FLAIR MR.
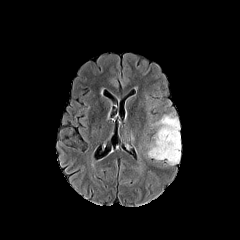
T1-weighted MR image.
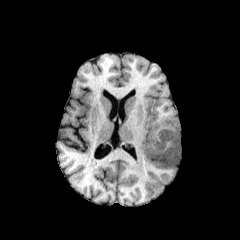
Post-contrast T1-weighted MR.
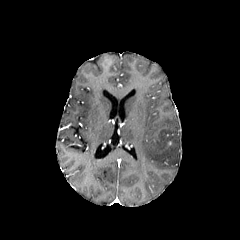
T2-weighted MR image.
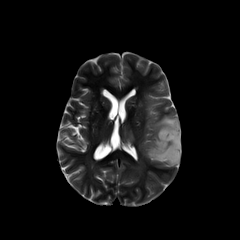
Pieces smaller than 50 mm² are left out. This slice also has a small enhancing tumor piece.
The largest peritumoral edema region appears at 147,113,180,165.